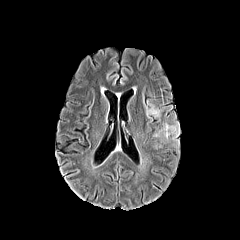
FLAIR MR.
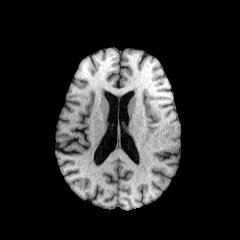
Same slice, T1-weighted MRI.
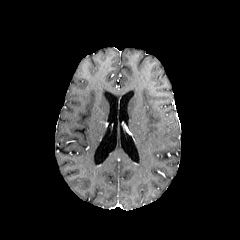
Post-contrast T1-weighted MRI of the same slice.
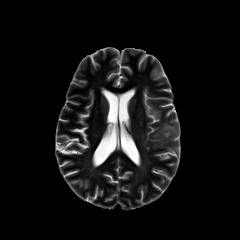
T2-weighted MRI.
<segmentation>
  <peritumoral_edema>(left=154, top=124, right=178, bottom=138)</peritumoral_edema>
</segmentation>